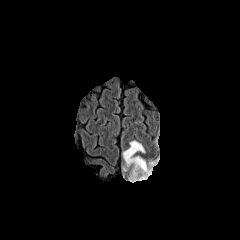
FLAIR magnetic resonance.
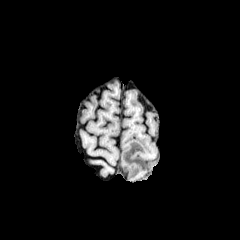
T1-weighted MRI of the same slice.
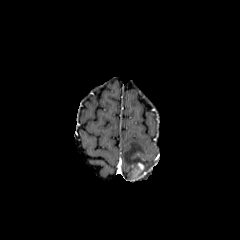
Post-contrast T1-weighted MR of the same slice.
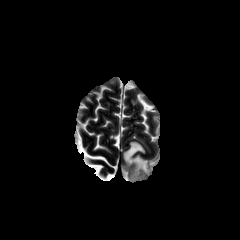
Same slice, T2-weighted MR image.
Head
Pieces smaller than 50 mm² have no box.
peritumoral edema — region(122, 141, 154, 172)
enhancing tumor — region(127, 162, 146, 181)